Image size 240x240; Axial view; Head
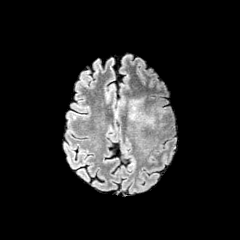
FLAIR MR image.
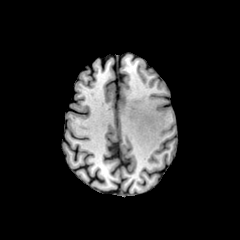
Same slice, T1-weighted magnetic resonance.
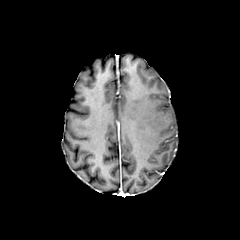
Post-contrast T1-weighted MR.
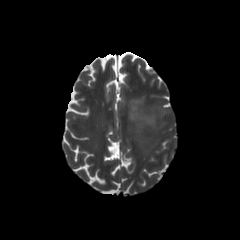
T2-weighted MRI.
Segmented structures:
• peritumoral edema: (x1=127, y1=95, x2=155, y2=127)